FLAIR MRI.
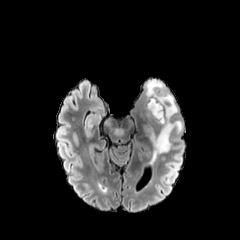
T1-weighted MRI.
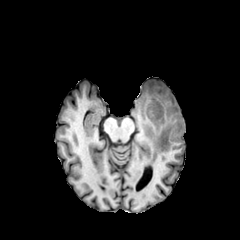
Post-contrast T1-weighted MR image.
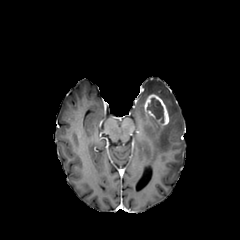
T2-weighted MR image.
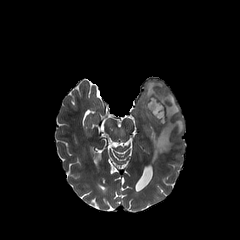
Axial slice; Brain
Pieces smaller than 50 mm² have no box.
enhancing tumor: box(143, 93, 169, 125) | necrotic tumor core: box(147, 98, 164, 123) | peritumoral edema: box(144, 80, 183, 163)